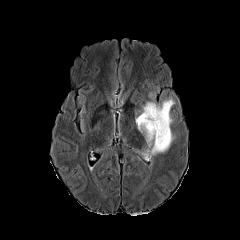
FLAIR magnetic resonance.
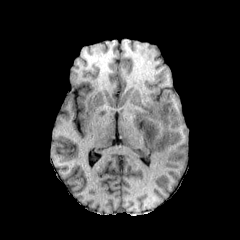
T1-weighted MRI.
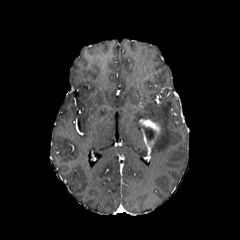
Post-contrast T1-weighted magnetic resonance.
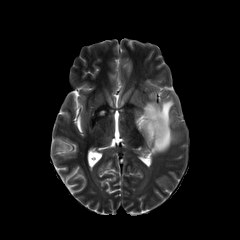
T2-weighted MRI of the same slice.
Axial view.
enhancing_tumor:
  - 139 119 160 139
peritumoral_edema:
  - 134 89 183 155